Slice 86/155.
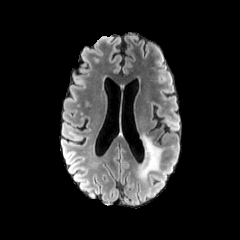
FLAIR MR.
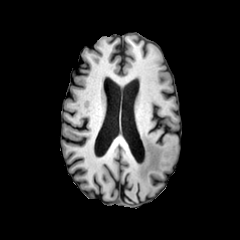
T1-weighted magnetic resonance.
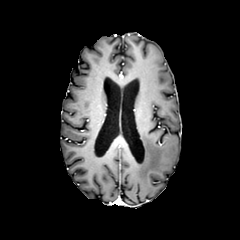
Post-contrast T1-weighted MRI of the same slice.
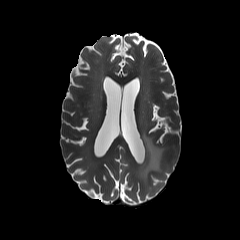
T2-weighted MRI.
Annotated regions:
* peritumoral edema: bbox(135, 134, 162, 181)